Brain; Slice index 58
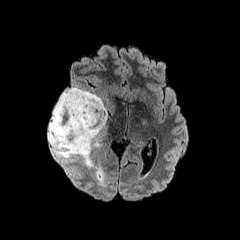
FLAIR magnetic resonance.
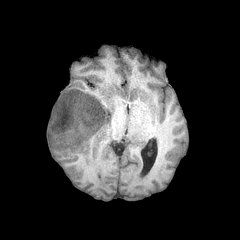
T1-weighted magnetic resonance of the same slice.
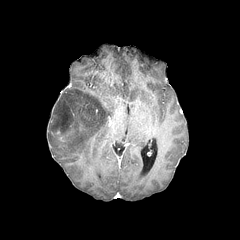
Same slice, post-contrast T1-weighted MRI.
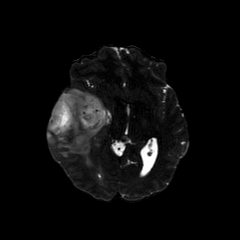
T2-weighted MRI of the same slice.
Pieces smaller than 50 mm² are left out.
The peritumoral edema lies within 48:87:107:166. The largest enhancing tumor region lies within 56:130:66:142.